Axial slice. Image width 240 mm, 1.00 mm slice spacing.
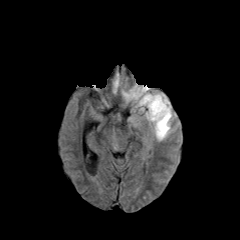
FLAIR magnetic resonance.
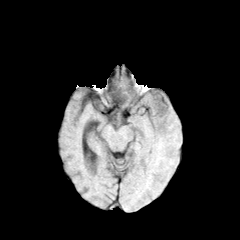
Same slice, T1-weighted MR image.
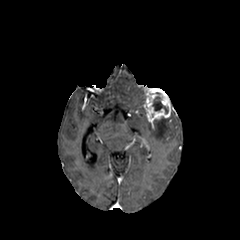
Post-contrast T1-weighted MRI.
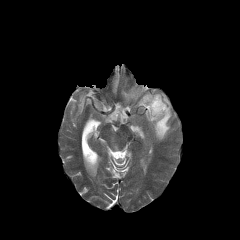
T2-weighted magnetic resonance of the same slice.
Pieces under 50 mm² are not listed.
The enhancing tumor is located at x1=143, y1=88, x2=172, y2=122. The necrotic tumor core is bounded by x1=152, y1=97, x2=167, y2=113. The 2 largest peritumoral edema regions are located at x1=123, y1=86, x2=147, y2=106; x1=153, y1=112, x2=171, y2=140.